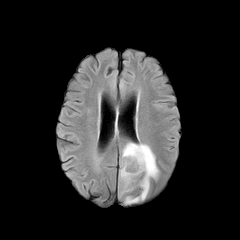
FLAIR magnetic resonance.
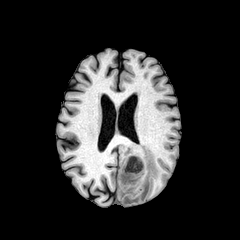
T1-weighted magnetic resonance of the same slice.
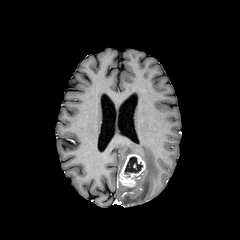
Same slice, post-contrast T1-weighted MR image.
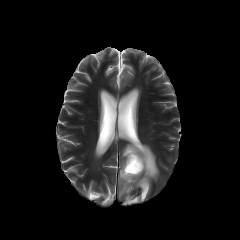
T2-weighted MR.
Axial plane
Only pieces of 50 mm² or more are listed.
peritumoral_edema:
  - {"x1": 121, "y1": 143, "x2": 158, "y2": 204}
necrotic_tumor_core:
  - {"x1": 125, "y1": 157, "x2": 142, "y2": 174}
enhancing_tumor:
  - {"x1": 119, "y1": 154, "x2": 145, "y2": 187}